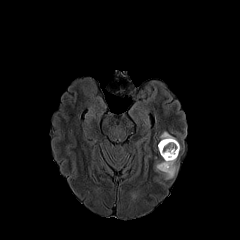
FLAIR MR image.
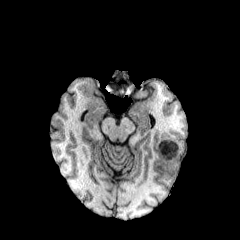
T1-weighted MR image of the same slice.
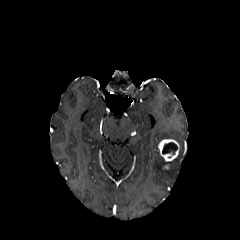
Post-contrast T1-weighted MR of the same slice.
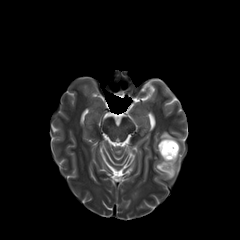
T2-weighted magnetic resonance of the same slice.
Image size 240x240
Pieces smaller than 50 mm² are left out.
enhancing_tumor:
  - 158,139,179,161
peritumoral_edema:
  - 155,157,178,179
  - 159,131,176,140
necrotic_tumor_core:
  - 162,142,177,154